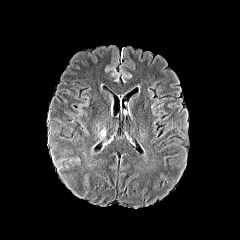
FLAIR MR image.
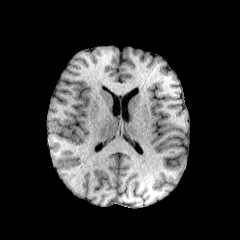
Same slice, T1-weighted MR image.
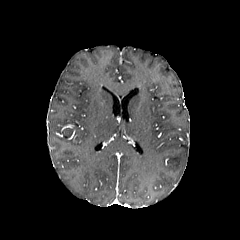
Post-contrast T1-weighted MRI.
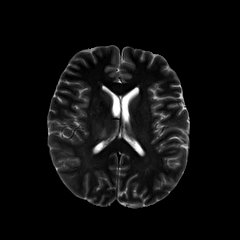
T2-weighted MR image.
Brain; 240x240; Axial plane
{"peritumoral_edema": ["left=98, top=129, right=106, bottom=138"]}